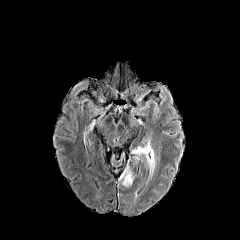
FLAIR MR.
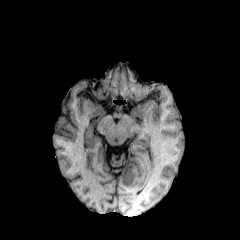
T1-weighted MR of the same slice.
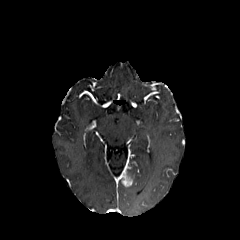
Post-contrast T1-weighted MR.
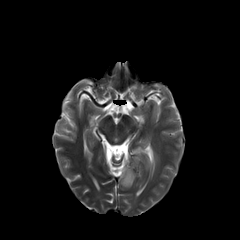
T2-weighted magnetic resonance.
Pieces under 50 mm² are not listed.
The 2 largest peritumoral edema regions appear at left=148, top=151, right=154, bottom=173; left=133, top=147, right=146, bottom=153. The enhancing tumor appears at left=121, top=171, right=132, bottom=186.